FLAIR MRI.
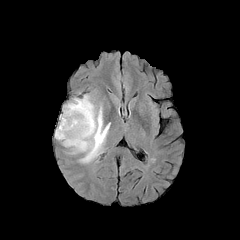
T1-weighted magnetic resonance.
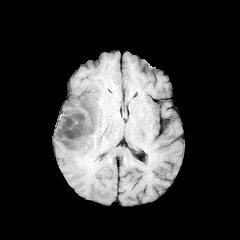
Post-contrast T1-weighted MRI.
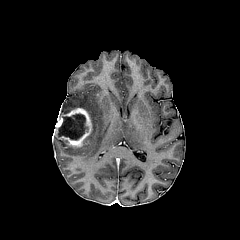
T2-weighted MRI.
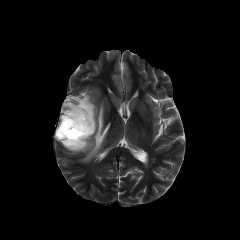
Head
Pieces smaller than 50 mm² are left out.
{
  "peritumoral_edema": [
    "58:94:110:162"
  ],
  "enhancing_tumor": [
    "54:108:92:148"
  ],
  "necrotic_tumor_core": [
    "57:114:87:139"
  ]
}